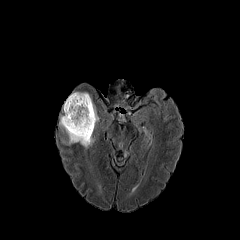
FLAIR magnetic resonance.
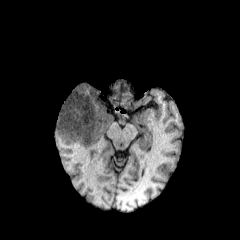
Same slice, T1-weighted magnetic resonance.
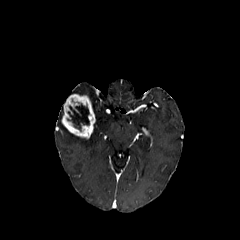
Post-contrast T1-weighted MR image of the same slice.
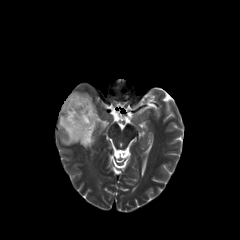
T2-weighted MRI of the same slice.
Head.
enhancing_tumor:
  - <bbox>61, 93, 95, 139</bbox>
peritumoral_edema:
  - <bbox>59, 115, 95, 148</bbox>
  - <bbox>72, 92, 99, 128</bbox>
necrotic_tumor_core:
  - <bbox>67, 103, 89, 130</bbox>